FLAIR MRI.
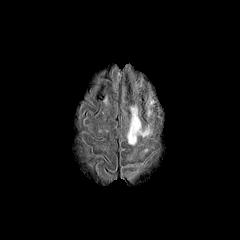
T1-weighted magnetic resonance.
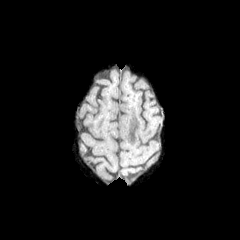
Post-contrast T1-weighted MR.
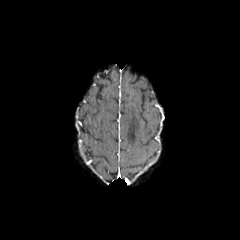
T2-weighted MR.
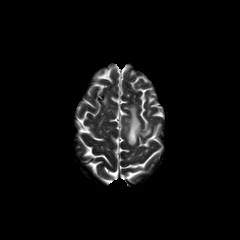
Axial plane.
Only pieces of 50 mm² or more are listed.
The largest peritumoral edema region lies within left=126, top=106, right=150, bottom=145.